Head, 240x240, Image width 240 mm
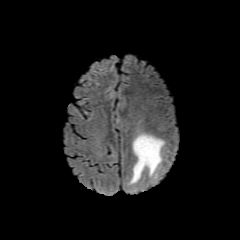
FLAIR MR.
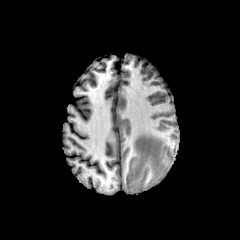
T1-weighted MRI.
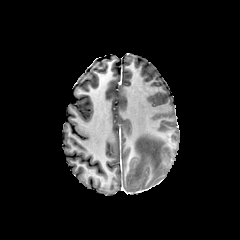
Post-contrast T1-weighted magnetic resonance.
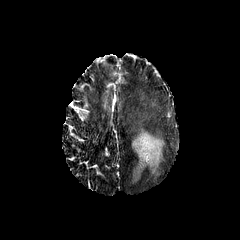
T2-weighted MR of the same slice.
The peritumoral edema is located at <box>129,133,164,184</box>.